Slice 64 of 155, Axial plane, Head, 240x240 px
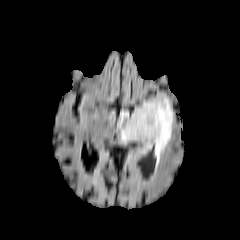
FLAIR MR image.
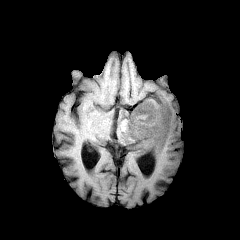
T1-weighted magnetic resonance.
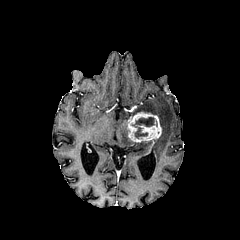
Post-contrast T1-weighted MR image.
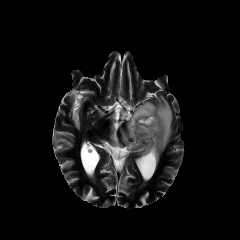
T2-weighted MRI.
<segmentation>
  <enhancing_tumor>left=127, top=111, right=161, bottom=142</enhancing_tumor>
  <peritumoral_edema>left=119, top=95, right=173, bottom=163</peritumoral_edema>
  <necrotic_tumor_core>left=132, top=117, right=154, bottom=138</necrotic_tumor_core>
</segmentation>